FLAIR MR image.
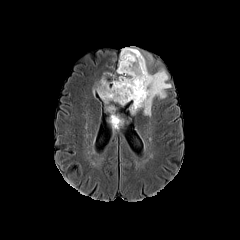
T1-weighted MR.
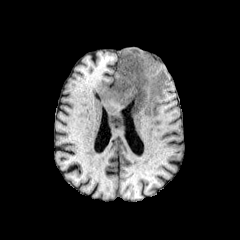
Post-contrast T1-weighted MRI.
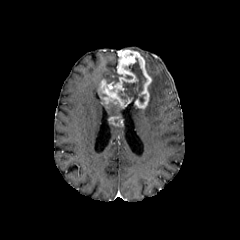
T2-weighted magnetic resonance.
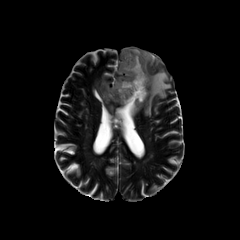
240x240 px
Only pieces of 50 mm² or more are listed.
The largest necrotic tumor core region is bounded by 119:58:145:102. The 3 largest peritumoral edema regions are bounded by 130:104:142:114, 122:47:171:116, 105:104:118:116. 2 enhancing tumor regions appear at 98:49:152:109, 108:115:123:126.